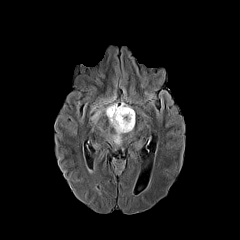
FLAIR MR image.
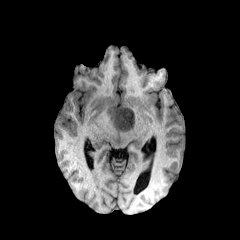
T1-weighted MR image.
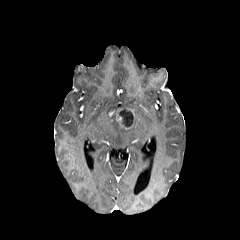
Same slice, post-contrast T1-weighted MR image.
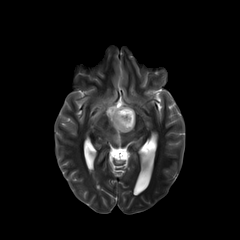
T2-weighted magnetic resonance.
Head
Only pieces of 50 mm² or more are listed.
The necrotic tumor core appears at <bbox>119, 108, 133, 127</bbox>. The peritumoral edema lies within <bbox>91, 93, 135, 145</bbox>. The largest enhancing tumor region appears at <bbox>109, 107, 133, 129</bbox>.